Head | Axial slice | Slice 98/155
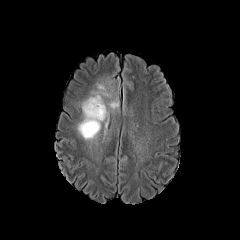
FLAIR MR.
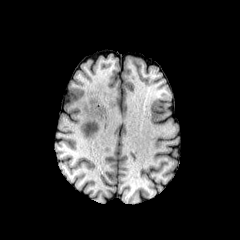
T1-weighted MR.
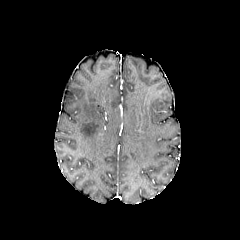
Post-contrast T1-weighted MR image.
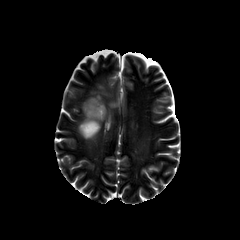
T2-weighted MR of the same slice.
The peritumoral edema lies within box(77, 76, 118, 140).